FLAIR MR.
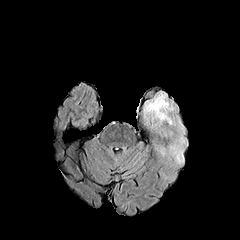
T1-weighted magnetic resonance.
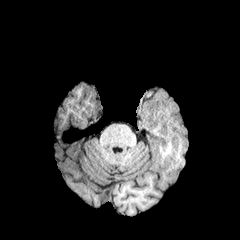
Post-contrast T1-weighted MRI.
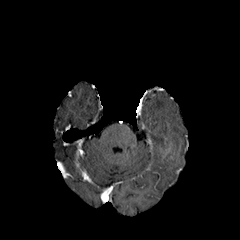
T2-weighted magnetic resonance.
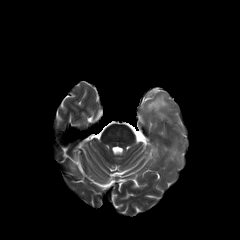
Brain
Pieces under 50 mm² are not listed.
The 2 largest peritumoral edema regions appear at 144:93:173:124, 171:146:182:162.